Head
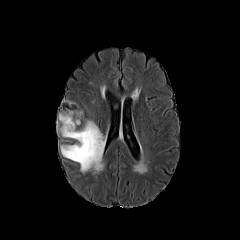
FLAIR MR.
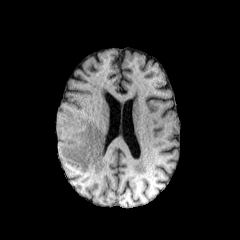
T1-weighted MR image.
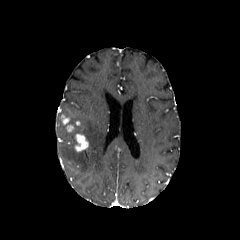
Same slice, post-contrast T1-weighted MRI.
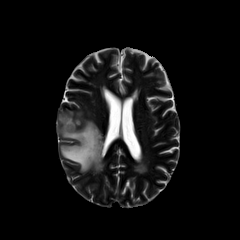
T2-weighted MRI.
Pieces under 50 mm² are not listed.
The peritumoral edema is at 57,111,105,173. The 3 largest enhancing tumor regions appear at 60,114,70,124; 75,133,88,151; 66,124,74,132.